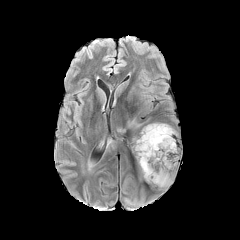
FLAIR magnetic resonance.
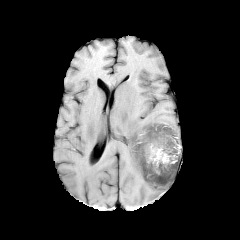
Same slice, T1-weighted MR image.
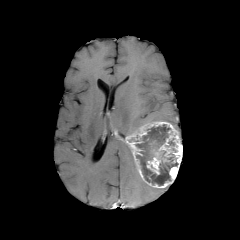
Same slice, post-contrast T1-weighted MR image.
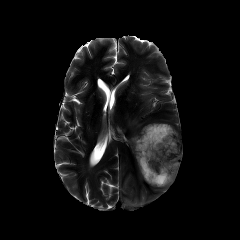
Same slice, T2-weighted MR.
Head
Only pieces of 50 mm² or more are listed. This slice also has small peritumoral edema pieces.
necrotic tumor core at (136, 124, 177, 185)
enhancing tumor at (126, 122, 182, 188)